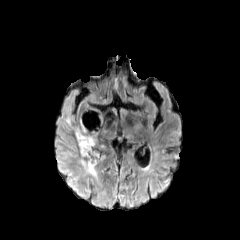
FLAIR MR image.
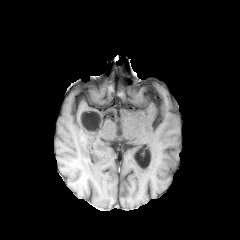
T1-weighted MR image.
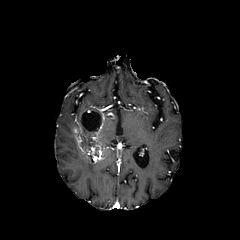
Same slice, post-contrast T1-weighted magnetic resonance.
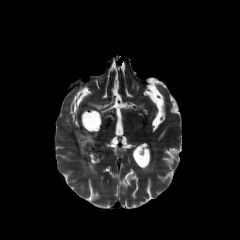
Same slice, T2-weighted magnetic resonance.
Axial view. 240x240.
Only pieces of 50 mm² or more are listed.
Findings:
* necrotic tumor core: (x1=81, y1=112, x2=101, y2=132), (x1=81, y1=136, x2=91, y2=147)
* peritumoral edema: (x1=79, y1=158, x2=97, y2=180)
* enhancing tumor: (x1=73, y1=108, x2=106, y2=157)